FLAIR MRI.
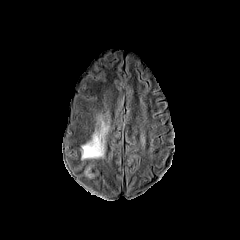
T1-weighted MR.
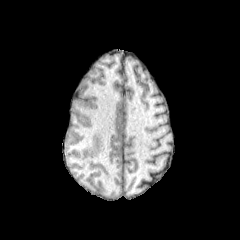
Post-contrast T1-weighted MR.
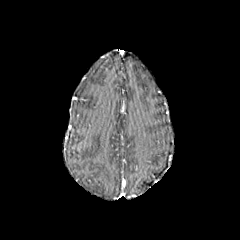
T2-weighted magnetic resonance.
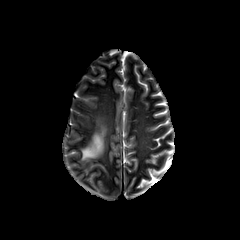
Axial slice, Brain
peritumoral edema at rect(82, 122, 107, 159)